Head | Axial view
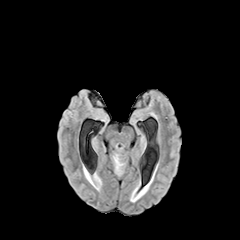
FLAIR MRI.
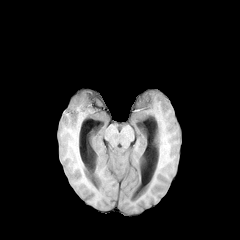
T1-weighted MR.
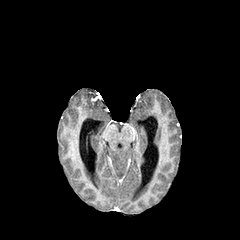
Post-contrast T1-weighted MRI.
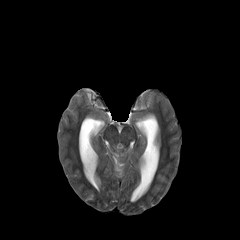
T2-weighted magnetic resonance.
peritumoral edema at region(113, 154, 123, 173)